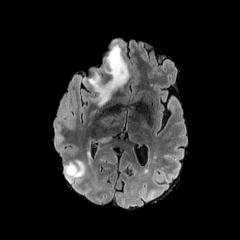
FLAIR MR.
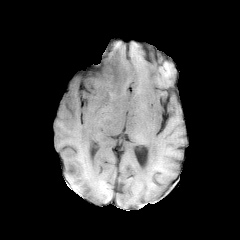
T1-weighted MR of the same slice.
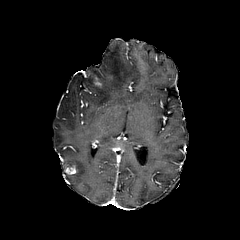
Post-contrast T1-weighted MR.
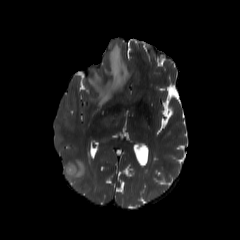
T2-weighted magnetic resonance of the same slice.
Axial view
peritumoral edema: 85:43:130:105, 64:160:84:178
enhancing tumor: 94:76:103:86, 66:166:76:174